FLAIR magnetic resonance.
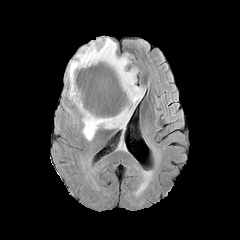
T1-weighted magnetic resonance.
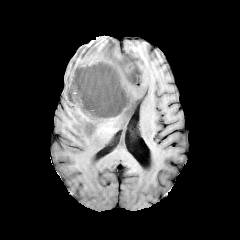
Post-contrast T1-weighted MR.
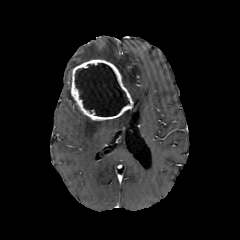
T2-weighted MR.
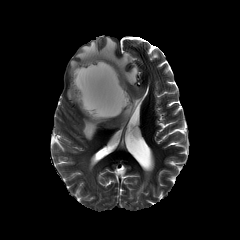
Axial slice
The peritumoral edema is bounded by region(66, 37, 144, 140). The enhancing tumor lies within region(70, 59, 133, 120). The necrotic tumor core lies within region(75, 63, 129, 116).